FLAIR MR image.
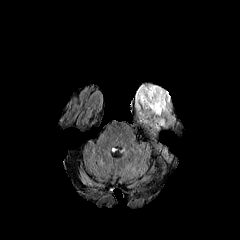
T1-weighted MRI.
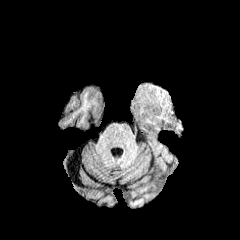
Post-contrast T1-weighted MR image.
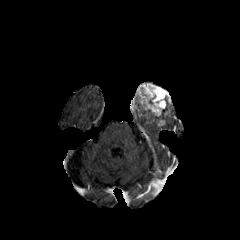
T2-weighted magnetic resonance.
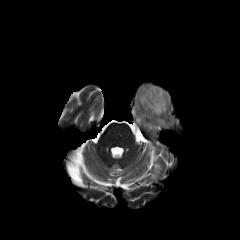
Brain; 240x240 px
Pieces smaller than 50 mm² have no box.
peritumoral edema — bbox=[138, 106, 173, 129]
enhancing tumor — bbox=[134, 83, 171, 117]